FLAIR MR image.
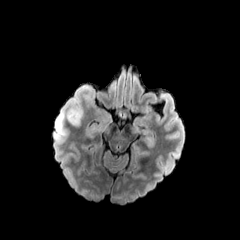
T1-weighted MR.
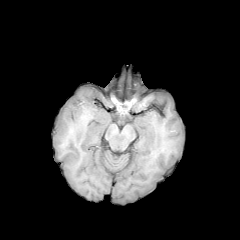
Post-contrast T1-weighted magnetic resonance.
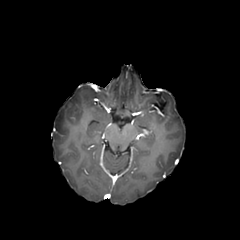
T2-weighted MR image.
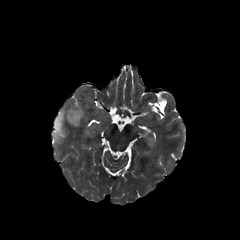
Brain
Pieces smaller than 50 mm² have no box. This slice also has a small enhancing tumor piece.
peritumoral_edema:
  - (55, 111, 64, 134)
  - (67, 110, 81, 125)